Slice 86/155. Axial slice. 240x240 px.
FLAIR MRI.
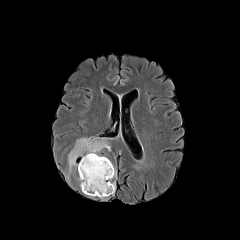
T1-weighted magnetic resonance.
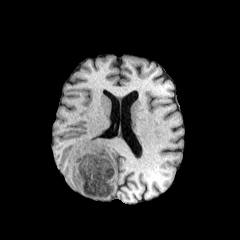
Post-contrast T1-weighted magnetic resonance.
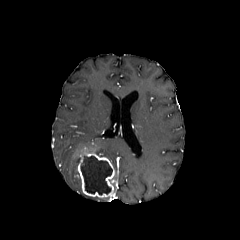
T2-weighted MRI.
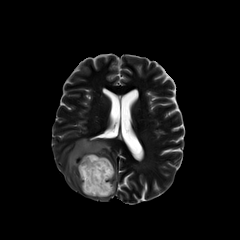
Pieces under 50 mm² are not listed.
necrotic_tumor_core:
  - box(81, 156, 112, 194)
enhancing_tumor:
  - box(77, 152, 115, 197)
peritumoral_edema:
  - box(68, 136, 110, 172)